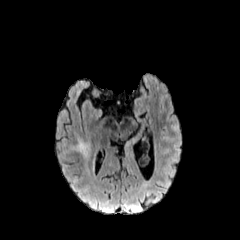
FLAIR magnetic resonance.
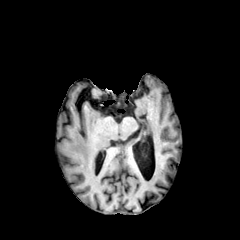
T1-weighted MR image.
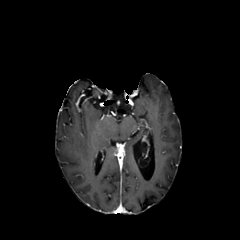
Post-contrast T1-weighted MR image of the same slice.
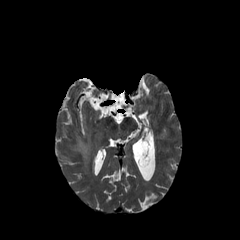
T2-weighted MRI.
Brain. Image size 240x240. Axial slice.
Segmented structures:
* peritumoral edema: 71, 137, 90, 173